Brain
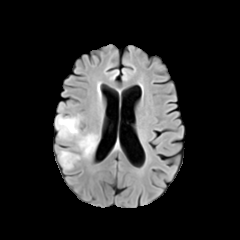
FLAIR MR.
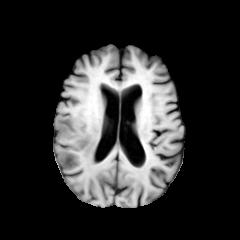
T1-weighted magnetic resonance.
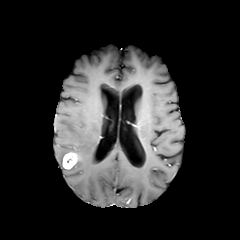
Post-contrast T1-weighted magnetic resonance.
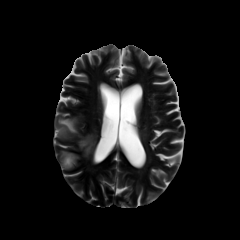
T2-weighted MR image.
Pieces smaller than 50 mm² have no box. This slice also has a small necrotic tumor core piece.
enhancing tumor at [62,152,77,169]
peritumoral edema at [55,115,97,157], [59,150,70,164]